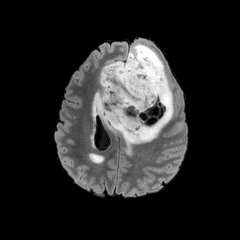
FLAIR MR image.
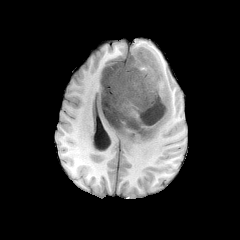
Same slice, T1-weighted MR image.
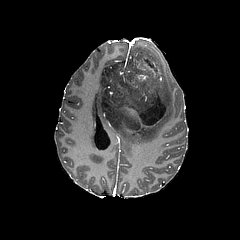
Post-contrast T1-weighted MRI.
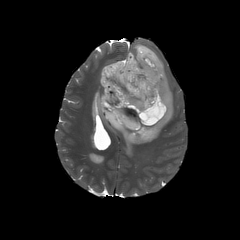
T2-weighted MRI.
Brain | Image size 240x240 | Axial view
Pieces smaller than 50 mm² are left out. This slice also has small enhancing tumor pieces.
peritumoral edema: bounding box rect(99, 63, 111, 85); rect(92, 44, 173, 152)
necrotic tumor core: bounding box rect(100, 50, 168, 133)